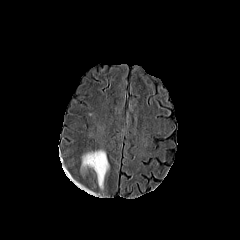
FLAIR MR image.
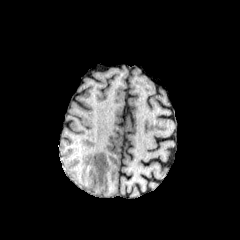
T1-weighted magnetic resonance of the same slice.
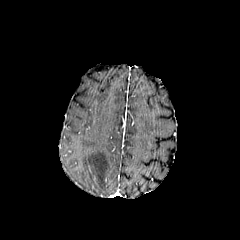
Post-contrast T1-weighted magnetic resonance.
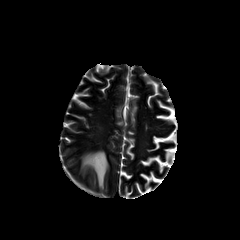
T2-weighted magnetic resonance of the same slice.
Axial slice, Brain, Image size 240x240
* peritumoral edema: 81,150,109,189